FLAIR magnetic resonance.
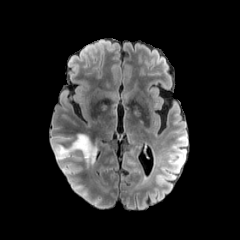
T1-weighted MRI.
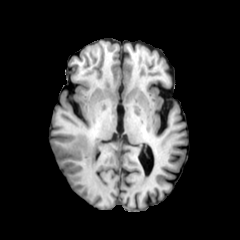
Post-contrast T1-weighted MRI.
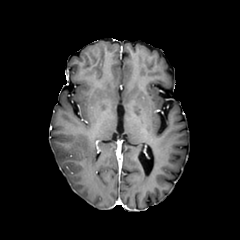
T2-weighted MR.
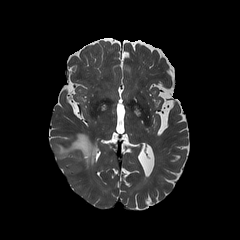
240x240 px. Head. Axial slice.
peritumoral edema at 56, 133, 97, 164